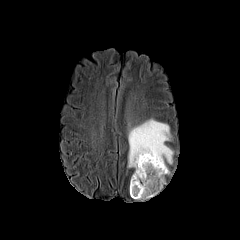
FLAIR magnetic resonance.
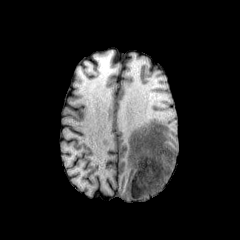
Same slice, T1-weighted MR image.
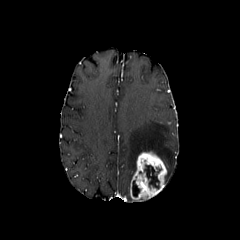
Post-contrast T1-weighted MR of the same slice.
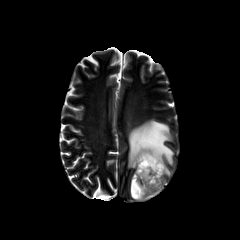
T2-weighted MR.
Axial slice
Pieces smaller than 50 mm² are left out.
enhancing tumor: bounding box <box>130,151,167,200</box>
necrotic tumor core: bounding box <box>132,180,139,196</box>, <box>144,165,159,188</box>
peritumoral edema: bounding box <box>127,119,173,171</box>